FLAIR MR.
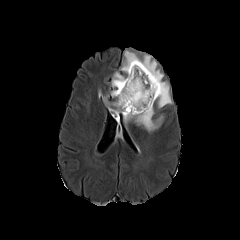
T1-weighted magnetic resonance.
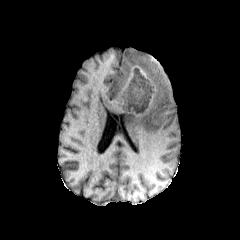
Post-contrast T1-weighted MR.
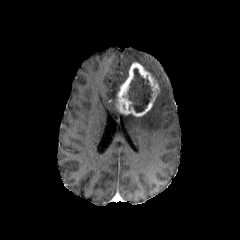
T2-weighted MR.
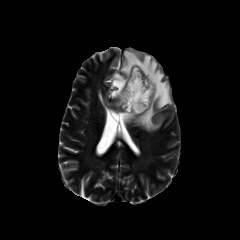
240x240 px | Axial plane | Brain
<segmentation>
  <enhancing_tumor>region(115, 62, 159, 116)</enhancing_tumor>
  <peritumoral_edema>region(110, 50, 172, 108); region(103, 97, 119, 112); region(127, 104, 163, 131)</peritumoral_edema>
  <necrotic_tumor_core>region(128, 68, 152, 112)</necrotic_tumor_core>
</segmentation>